FLAIR magnetic resonance.
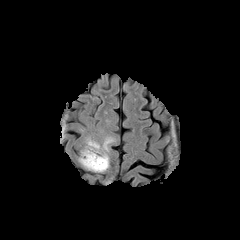
T1-weighted magnetic resonance.
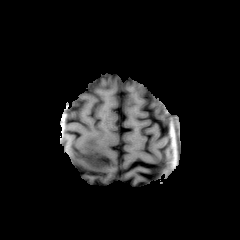
Post-contrast T1-weighted magnetic resonance.
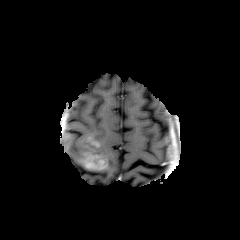
T2-weighted MRI.
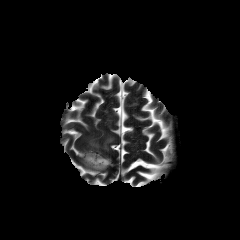
Brain. Image size 240x240. Axial plane.
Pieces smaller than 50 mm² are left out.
<segmentation>
  <peritumoral_edema>(79,136,114,172)</peritumoral_edema>
  <enhancing_tumor>(82,152,107,170)</enhancing_tumor>
</segmentation>